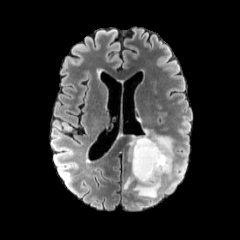
FLAIR MRI.
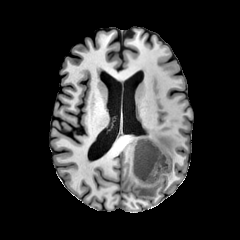
Same slice, T1-weighted magnetic resonance.
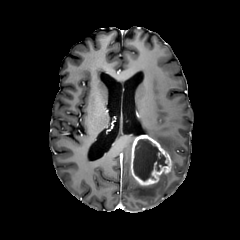
Post-contrast T1-weighted magnetic resonance of the same slice.
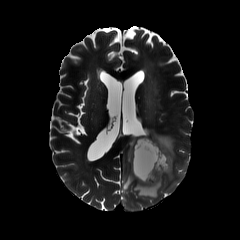
T2-weighted magnetic resonance.
Axial slice | Head
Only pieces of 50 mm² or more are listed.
* peritumoral edema: [133,169,171,198], [123,172,134,189], [128,136,137,162], [144,128,176,168]
* enhancing tumor: [130,135,171,186]
* necrotic tumor core: [133,139,167,180]